FLAIR magnetic resonance.
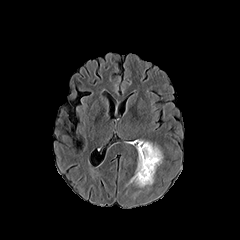
T1-weighted MR.
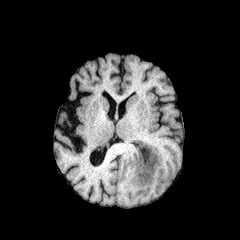
Post-contrast T1-weighted MR.
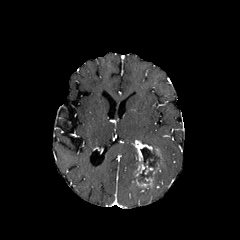
T2-weighted MRI.
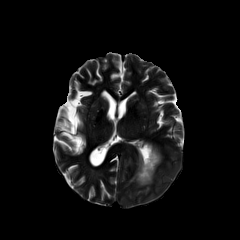
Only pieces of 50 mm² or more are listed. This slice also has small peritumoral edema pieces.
enhancing_tumor:
  - box(135, 141, 161, 186)
necrotic_tumor_core:
  - box(141, 147, 160, 168)
  - box(138, 168, 152, 182)